FLAIR magnetic resonance.
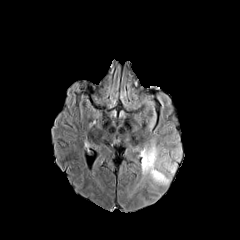
T1-weighted magnetic resonance.
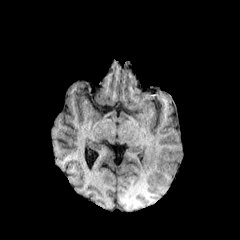
Post-contrast T1-weighted MRI.
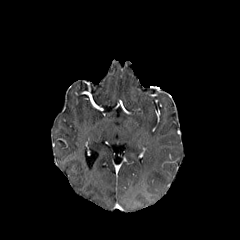
T2-weighted magnetic resonance.
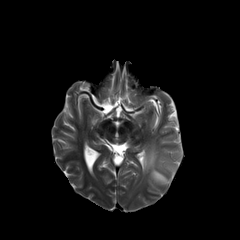
Axial plane
peritumoral_edema:
  - l=140, t=141, r=176, b=185
  - l=172, t=146, r=181, b=160